Image size 240x240, Head, Slice 98 of 155, Axial plane
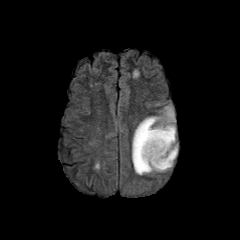
FLAIR MR image.
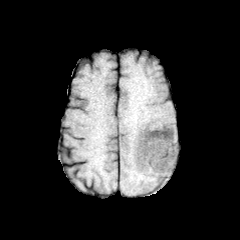
T1-weighted MR of the same slice.
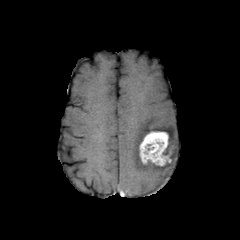
Post-contrast T1-weighted magnetic resonance of the same slice.
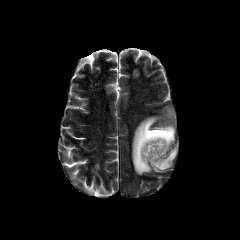
Same slice, T2-weighted magnetic resonance.
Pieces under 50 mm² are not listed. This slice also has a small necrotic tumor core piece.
Findings:
• peritumoral edema: <box>132,106,177,175</box>
• enhancing tumor: <box>139,131,172,166</box>